FLAIR MR image.
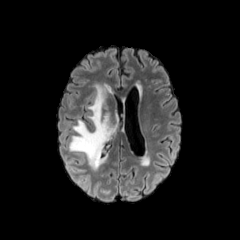
T1-weighted MR.
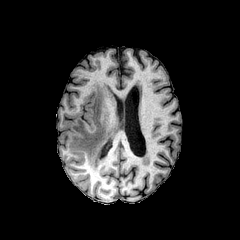
Post-contrast T1-weighted MR.
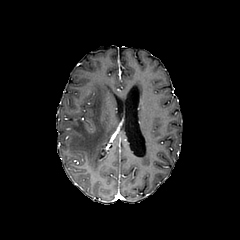
T2-weighted MR.
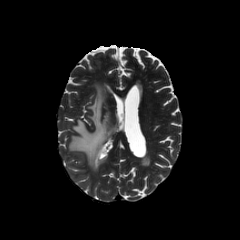
Head
peritumoral_edema:
  - [x1=69, y1=85, x2=114, y2=170]